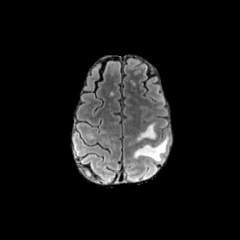
FLAIR magnetic resonance.
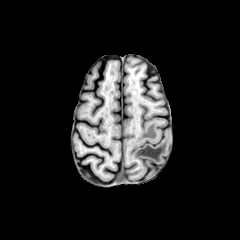
T1-weighted magnetic resonance of the same slice.
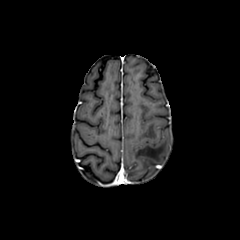
Same slice, post-contrast T1-weighted MR image.
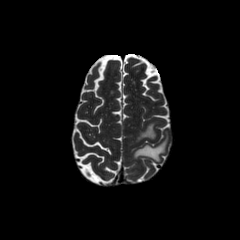
T2-weighted MR of the same slice.
Brain.
peritumoral edema at <bbox>133, 132, 168, 161</bbox>, <bbox>137, 123, 156, 140</bbox>